Image size 240x240, Axial view, Brain, Slice index 88
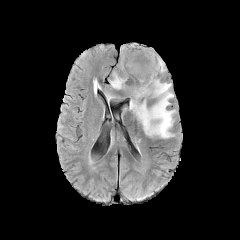
FLAIR MR image.
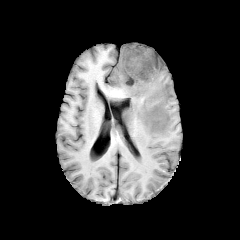
T1-weighted MR image.
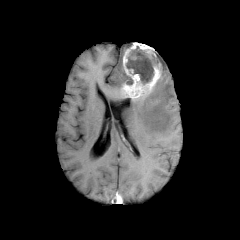
Post-contrast T1-weighted MR.
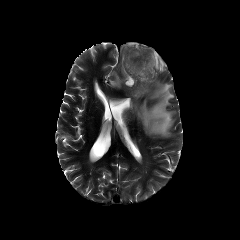
T2-weighted MR.
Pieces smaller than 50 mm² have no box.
Annotated regions:
• enhancing tumor: (x1=121, y1=42, x2=162, y2=100)
• necrotic tumor core: (x1=125, y1=75, x2=133, y2=84), (x1=126, y1=46, x2=160, y2=84)
• peritumoral edema: (x1=158, y1=55, x2=165, y2=73), (x1=120, y1=44, x2=131, y2=71), (x1=129, y1=79, x2=175, y2=138), (x1=110, y1=72, x2=125, y2=89)